Slice index 78 | Brain | Axial plane
FLAIR MR.
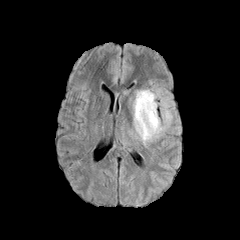
T1-weighted magnetic resonance.
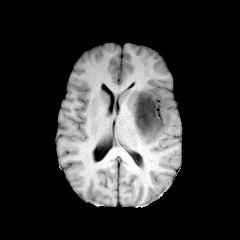
Post-contrast T1-weighted magnetic resonance.
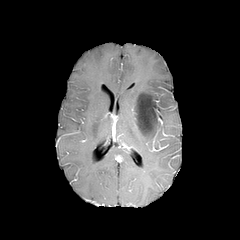
T2-weighted MRI.
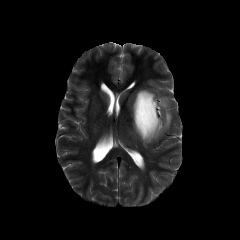
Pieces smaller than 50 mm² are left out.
peritumoral_edema:
  - 132 89 172 145
enhancing_tumor:
  - 137 95 156 133
necrotic_tumor_core:
  - 138 96 156 131